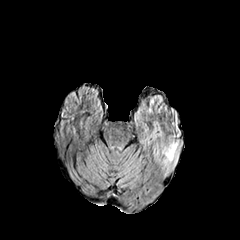
FLAIR magnetic resonance.
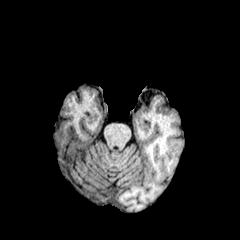
Same slice, T1-weighted MR.
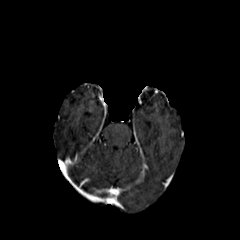
Post-contrast T1-weighted MR of the same slice.
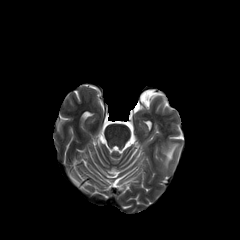
Same slice, T2-weighted MR.
Axial view | Head
The peritumoral edema is located at <bbox>164, 142, 180, 165</bbox>.